Slice 138/155. Brain. Axial view.
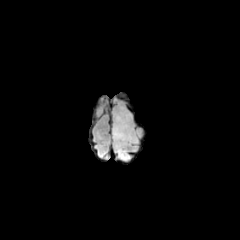
FLAIR magnetic resonance.
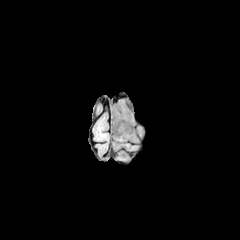
T1-weighted MRI.
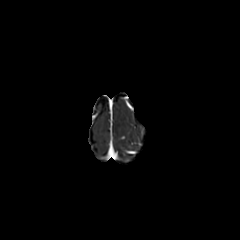
Post-contrast T1-weighted MRI.
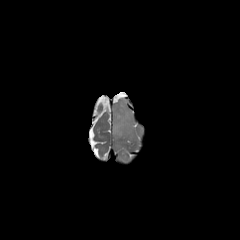
T2-weighted MR.
The peritumoral edema appears at x1=113, y1=104, x2=135, y2=160.